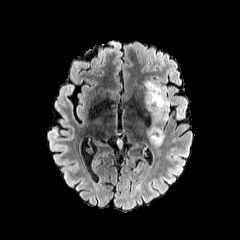
FLAIR MRI.
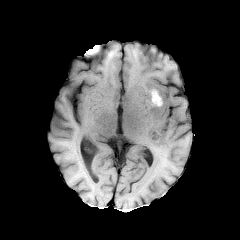
Same slice, T1-weighted MRI.
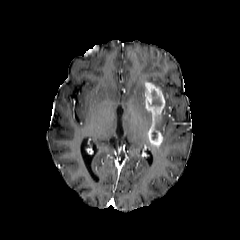
Same slice, post-contrast T1-weighted MR image.
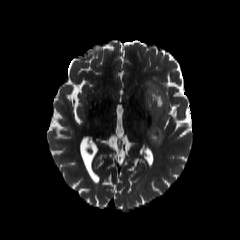
T2-weighted MR image.
240x240 px.
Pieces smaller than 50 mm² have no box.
* necrotic tumor core: box(151, 90, 161, 105)
* enhancing tumor: box(145, 82, 166, 147)
* peritumoral edema: box(175, 107, 185, 119); box(145, 80, 170, 131)